Brain
FLAIR magnetic resonance.
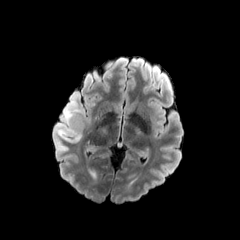
T1-weighted magnetic resonance.
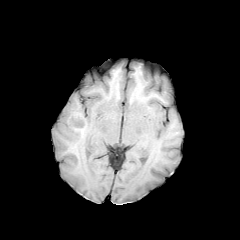
Post-contrast T1-weighted magnetic resonance.
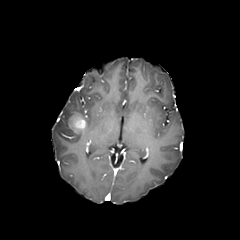
T2-weighted MRI.
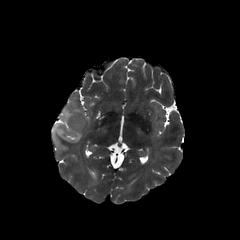
enhancing tumor: bounding box x1=68, y1=113, x2=85, y2=133
peritumoral edema: bounding box x1=57, y1=124, x2=82, y2=142; x1=61, y1=102, x2=80, y2=123